Brain; Image width 240 mm, 1.00 mm slice spacing; Axial plane; Slice 52 of 155
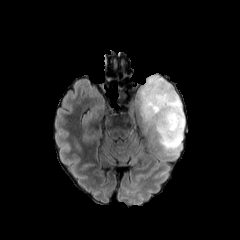
FLAIR MR.
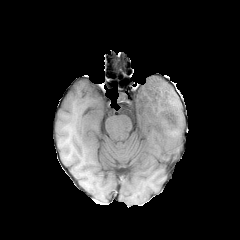
T1-weighted MRI of the same slice.
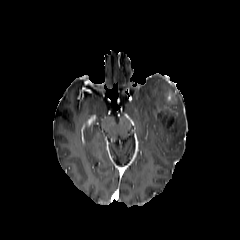
Same slice, post-contrast T1-weighted magnetic resonance.
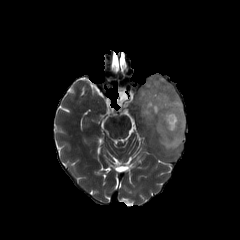
T2-weighted MR of the same slice.
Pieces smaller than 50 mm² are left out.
{
  "enhancing_tumor": [
    "155, 109, 177, 135"
  ],
  "peritumoral_edema": [
    "136, 75, 185, 154"
  ],
  "necrotic_tumor_core": [
    "157, 112, 172, 127"
  ]
}